Axial plane
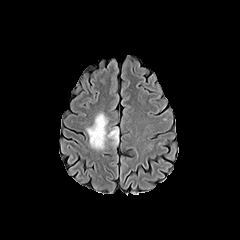
FLAIR MR.
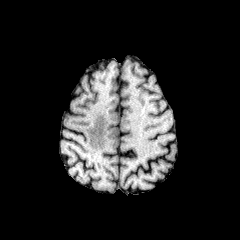
T1-weighted MR.
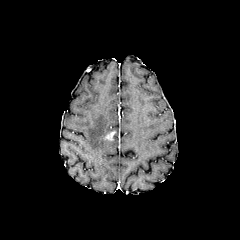
Post-contrast T1-weighted MR image.
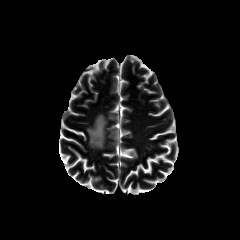
T2-weighted magnetic resonance.
2 peritumoral edema regions are bounded by x1=110 y1=127 x2=118 y2=146, x1=86 y1=113 x2=108 y2=149. The enhancing tumor is at x1=105 y1=131 x2=115 y2=139.